FLAIR magnetic resonance.
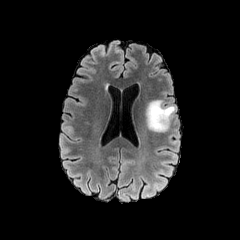
T1-weighted MR.
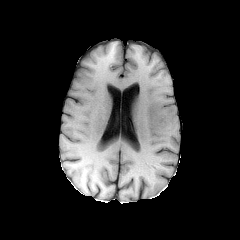
Post-contrast T1-weighted MRI.
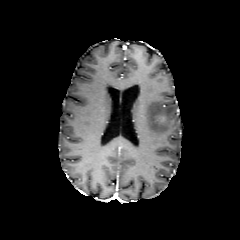
T2-weighted MR.
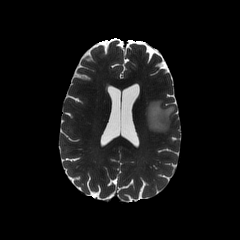
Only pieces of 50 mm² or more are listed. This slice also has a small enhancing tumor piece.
The peritumoral edema appears at (left=146, top=100, right=175, bottom=132).